Head
FLAIR MR image.
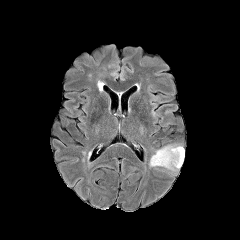
T1-weighted MR.
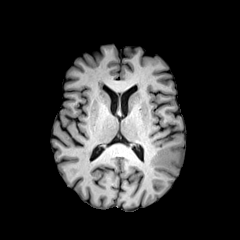
Post-contrast T1-weighted MR.
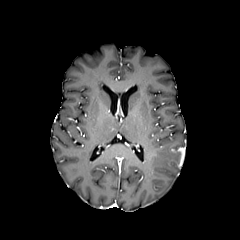
T2-weighted MR.
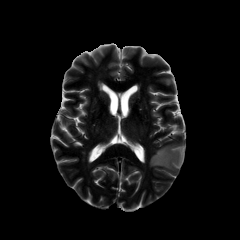
<segmentation>
  <enhancing_tumor>region(171, 147, 184, 167)</enhancing_tumor>
  <peritumoral_edema>region(149, 144, 182, 173)</peritumoral_edema>
</segmentation>